Head. Axial view. Slice 94/155. 240x240.
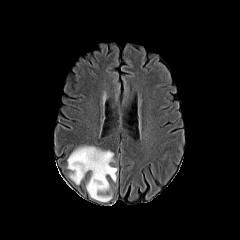
FLAIR MRI.
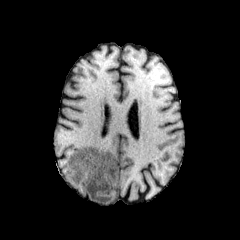
T1-weighted magnetic resonance.
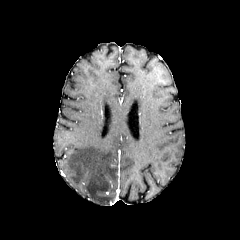
Post-contrast T1-weighted MRI.
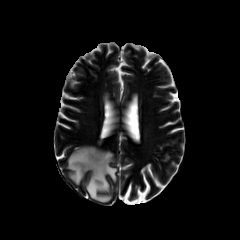
T2-weighted MR image.
Findings:
- peritumoral edema: box(67, 145, 117, 202)